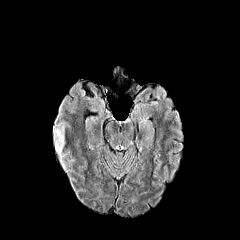
FLAIR magnetic resonance.
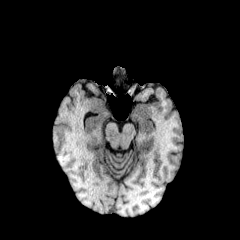
Same slice, T1-weighted MRI.
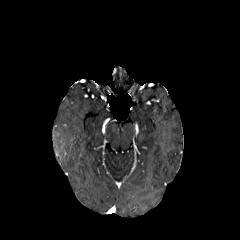
Post-contrast T1-weighted MR.
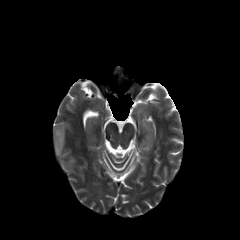
T2-weighted MR.
Axial slice, Image size 240x240, Head
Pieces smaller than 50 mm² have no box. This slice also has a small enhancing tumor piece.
peritumoral_edema:
  - rect(55, 120, 68, 151)